FLAIR magnetic resonance.
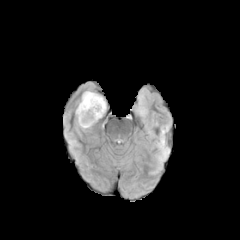
T1-weighted magnetic resonance.
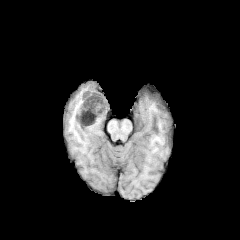
Post-contrast T1-weighted MR image.
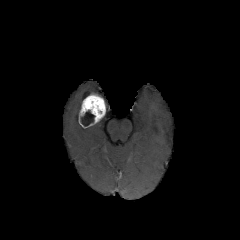
T2-weighted magnetic resonance.
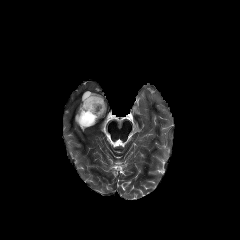
Axial slice; Brain
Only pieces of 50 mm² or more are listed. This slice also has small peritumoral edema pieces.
enhancing_tumor:
  - x1=78 y1=93 x2=105 y2=128
necrotic_tumor_core:
  - x1=81 y1=111 x2=94 y2=125